FLAIR MR.
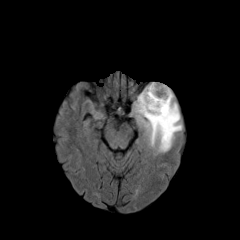
T1-weighted MR.
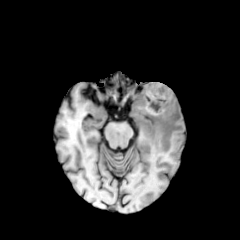
Post-contrast T1-weighted MRI.
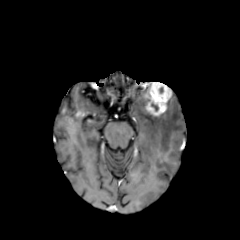
T2-weighted MR image.
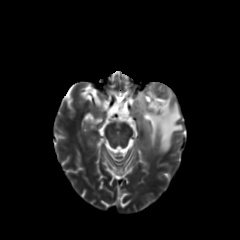
Head.
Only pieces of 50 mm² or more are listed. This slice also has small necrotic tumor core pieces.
The peritumoral edema appears at box(132, 83, 180, 156). The enhancing tumor lies within box(145, 82, 172, 115).